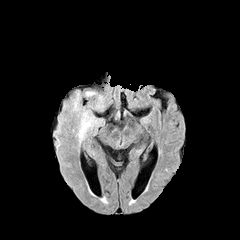
FLAIR MR image.
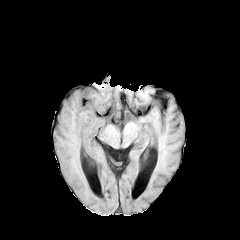
T1-weighted MR.
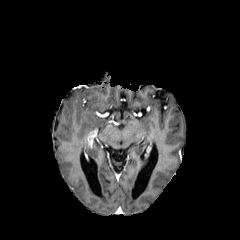
Post-contrast T1-weighted MR image.
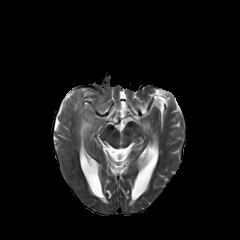
T2-weighted MR image.
Head
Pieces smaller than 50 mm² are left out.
peritumoral edema at bbox(79, 115, 104, 139); bbox(56, 97, 82, 141)